Axial slice. Brain.
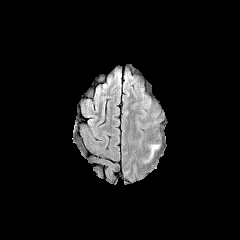
FLAIR MR.
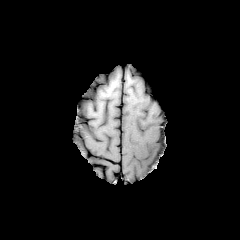
T1-weighted MR.
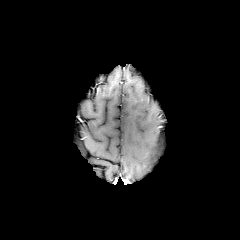
Post-contrast T1-weighted MRI.
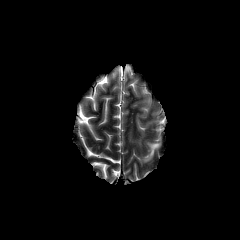
T2-weighted MRI.
peritumoral edema: bbox=[145, 143, 159, 161]